Image covers 240 mm x 240 mm
FLAIR magnetic resonance.
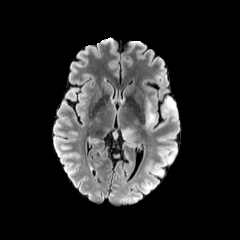
T1-weighted MRI.
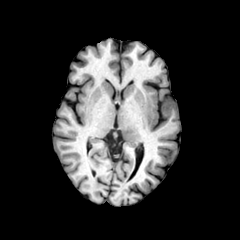
Post-contrast T1-weighted MR image.
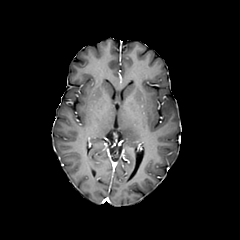
T2-weighted MR image.
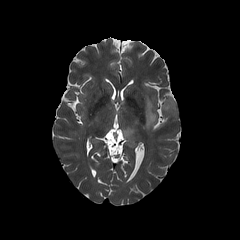
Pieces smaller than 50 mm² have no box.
peritumoral edema = 144,97,177,131; 121,126,138,142